240x240; Axial slice; Slice 29 of 155
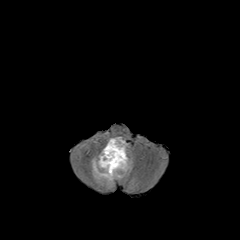
FLAIR MRI.
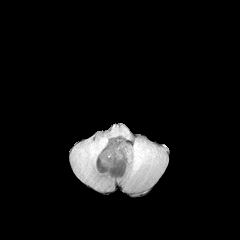
T1-weighted MR of the same slice.
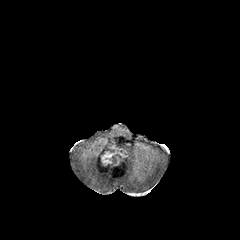
Same slice, post-contrast T1-weighted MR.
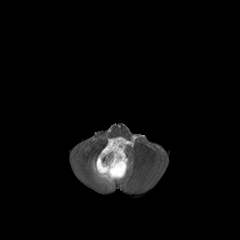
T2-weighted MR image.
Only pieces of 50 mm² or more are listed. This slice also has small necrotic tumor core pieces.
Segmented structures:
* peritumoral edema: <bbox>92, 137, 131, 187</bbox>
* enhancing tumor: <bbox>98, 140, 126, 176</bbox>